FLAIR MR.
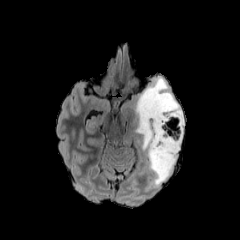
T1-weighted MR.
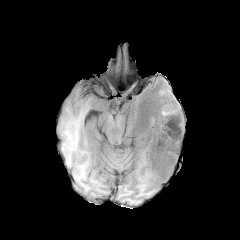
Post-contrast T1-weighted magnetic resonance.
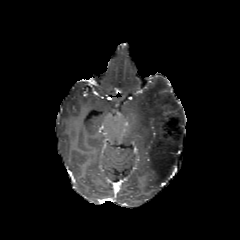
T2-weighted MR image.
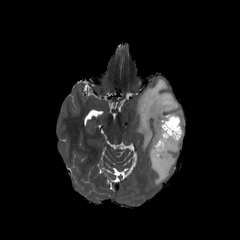
Axial plane. Head.
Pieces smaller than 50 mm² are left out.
The largest peritumoral edema region is bounded by [134,78,183,185].